Image width 240 mm, 1.00 mm slice spacing
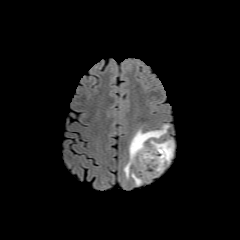
FLAIR magnetic resonance.
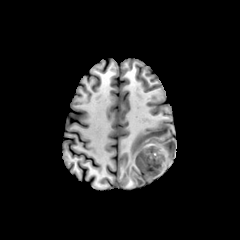
Same slice, T1-weighted MR image.
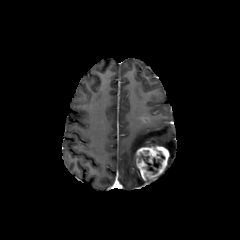
Same slice, post-contrast T1-weighted MR image.
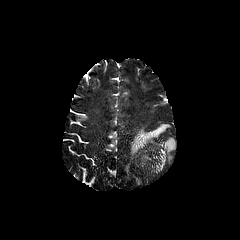
T2-weighted MRI.
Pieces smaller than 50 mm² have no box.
peritumoral edema: <box>124,125,169,185</box>, <box>156,138,174,163</box>
enhancing tumor: <box>136,143,169,180</box>
necrotic tumor core: <box>141,155,160,173</box>